FLAIR MR.
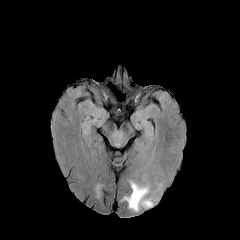
T1-weighted MR image.
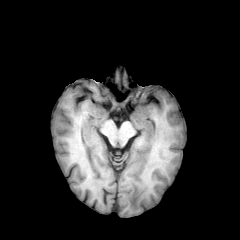
Post-contrast T1-weighted MR image.
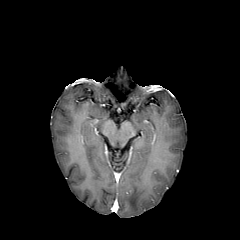
T2-weighted MRI.
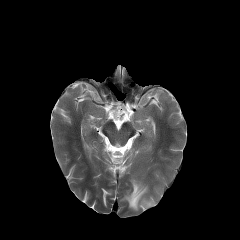
Axial slice | Brain
peritumoral edema — (x1=123, y1=181, x2=153, y2=211)